Axial plane
FLAIR MR image.
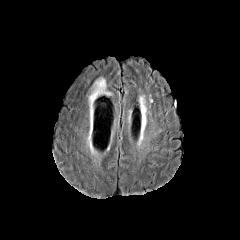
T1-weighted MRI.
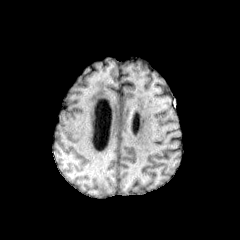
Post-contrast T1-weighted MR image.
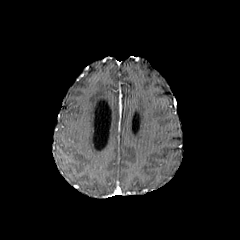
T2-weighted MRI.
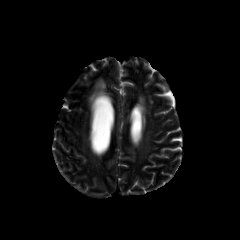
The peritumoral edema appears at box(89, 78, 107, 102).